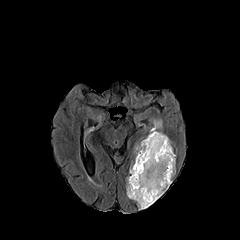
FLAIR magnetic resonance.
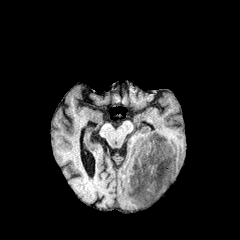
T1-weighted MR image.
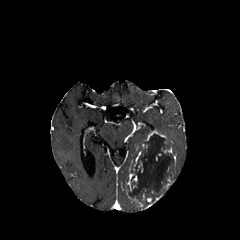
Same slice, post-contrast T1-weighted magnetic resonance.
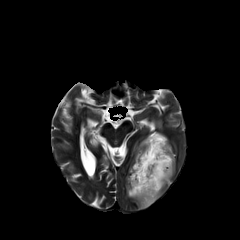
T2-weighted MRI.
Axial slice. Image size 240x240.
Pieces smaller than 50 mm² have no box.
{"necrotic_tumor_core": ["127,134,175,208"], "enhancing_tumor": ["161,147,175,163", "141,195,161,209", "133,150,141,170", "128,196,143,207", "144,130,167,143", "127,173,134,191", "163,177,172,188"], "peritumoral_edema": ["150,119,162,131"]}